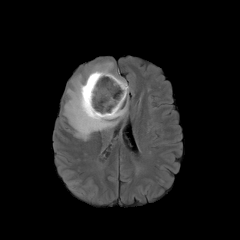
FLAIR MR.
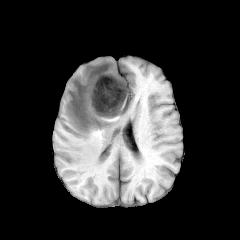
T1-weighted magnetic resonance.
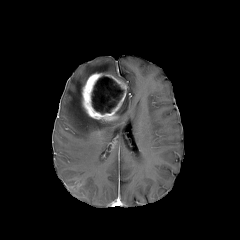
Post-contrast T1-weighted magnetic resonance of the same slice.
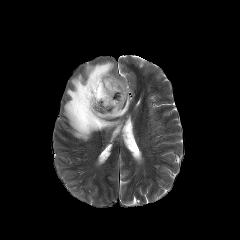
Same slice, T2-weighted MR image.
Image size 240x240 | Brain
The enhancing tumor is bounded by 82,72,128,120. The necrotic tumor core lies within 91,76,123,113. The peritumoral edema is located at 63,60,130,140.